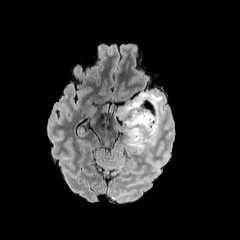
FLAIR MR.
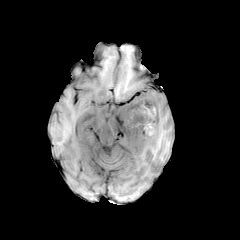
T1-weighted MR.
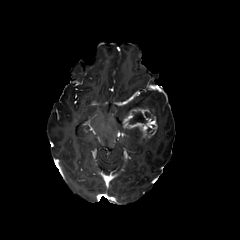
Same slice, post-contrast T1-weighted MR.
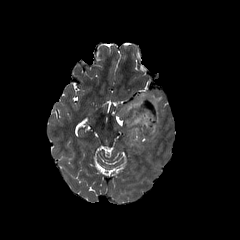
T2-weighted MRI.
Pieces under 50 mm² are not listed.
necrotic tumor core: box=[145, 111, 155, 120]; box=[129, 112, 147, 123] | peritumoral edema: box=[117, 92, 163, 151] | enhancing tumor: box=[123, 107, 157, 141]